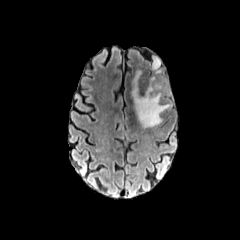
FLAIR MR image.
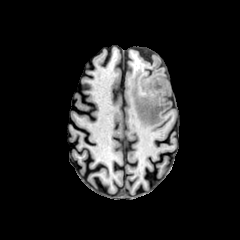
T1-weighted MR image of the same slice.
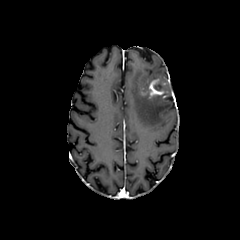
Post-contrast T1-weighted MR.
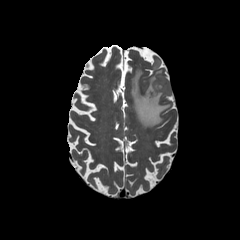
T2-weighted MRI of the same slice.
Axial slice | Image size 240x240 | Brain
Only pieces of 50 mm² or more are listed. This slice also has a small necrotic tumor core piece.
peritumoral edema: <bbox>131, 70, 171, 127</bbox>, <bbox>152, 55, 161, 74</bbox> | enhancing tumor: <bbox>148, 79, 167, 97</bbox>